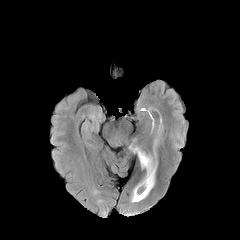
FLAIR MRI.
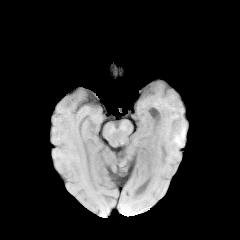
T1-weighted MRI of the same slice.
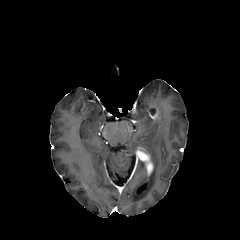
Post-contrast T1-weighted MR.
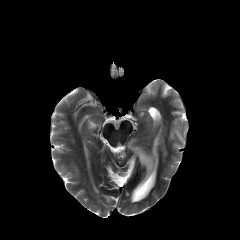
Same slice, T2-weighted magnetic resonance.
Brain, Image size 240x240
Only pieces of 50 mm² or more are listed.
{
  "enhancing_tumor": [
    "box=[135, 147, 153, 175]"
  ],
  "peritumoral_edema": [
    "box=[131, 136, 158, 202]"
  ]
}